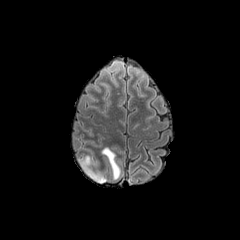
FLAIR MR image.
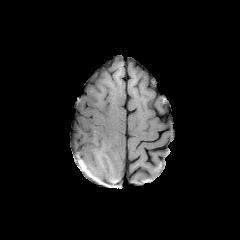
T1-weighted MRI.
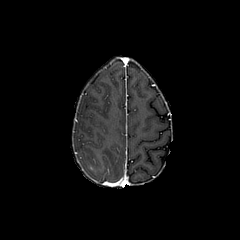
Post-contrast T1-weighted MRI.
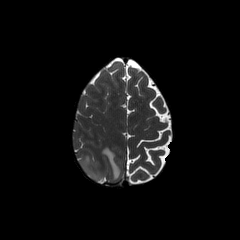
T2-weighted MR.
2 peritumoral edema regions are located at x1=102 y1=147 x2=120 y2=179, x1=79 y1=156 x2=105 y2=182.